Slice 90/155, 240x240 px, Axial plane
FLAIR magnetic resonance.
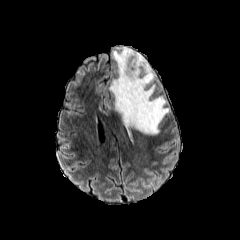
T1-weighted MR image.
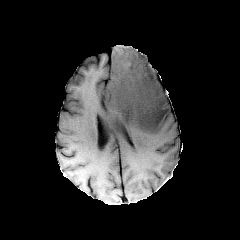
Post-contrast T1-weighted MR.
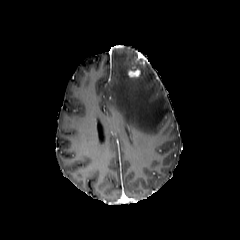
T2-weighted MR.
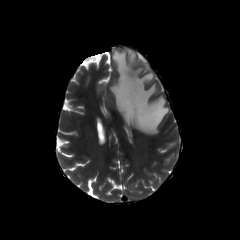
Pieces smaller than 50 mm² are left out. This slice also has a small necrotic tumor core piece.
2 enhancing tumor regions are bounded by (left=127, top=67, right=140, bottom=77), (left=135, top=52, right=147, bottom=65). The peritumoral edema lies within (left=110, top=46, right=169, bottom=134).